Image width 240 mm; Image size 240x240; Axial plane; Slice 109 of 155
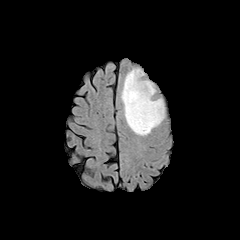
FLAIR MR image.
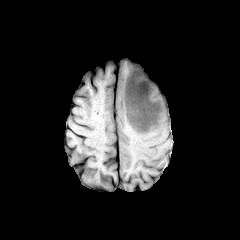
T1-weighted MRI.
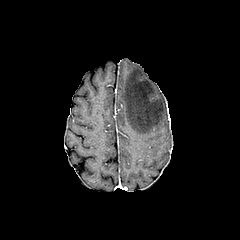
Same slice, post-contrast T1-weighted MRI.
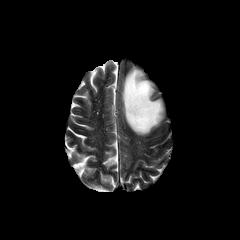
T2-weighted MRI.
<segmentation>
  <peritumoral_edema>121,68,164,135</peritumoral_edema>
</segmentation>